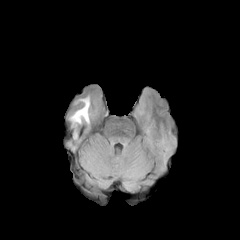
FLAIR magnetic resonance.
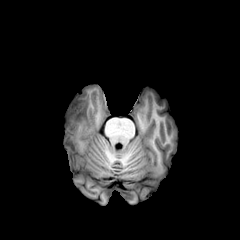
Same slice, T1-weighted MR image.
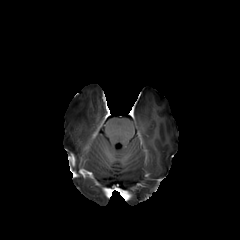
Post-contrast T1-weighted MR image.
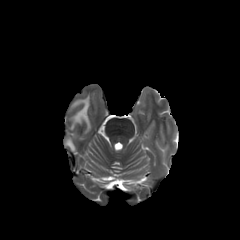
T2-weighted MR of the same slice.
Axial slice, Brain, 240x240
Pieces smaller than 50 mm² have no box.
peritumoral edema: 71,97,89,128